240x240 px, Brain
FLAIR MR.
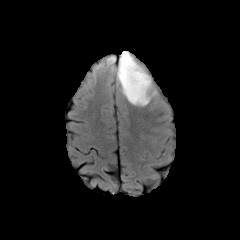
T1-weighted MR.
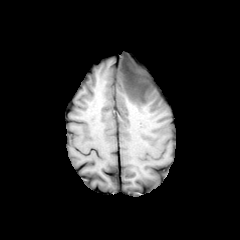
Post-contrast T1-weighted magnetic resonance.
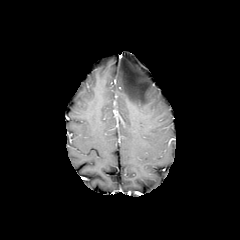
T2-weighted MR image.
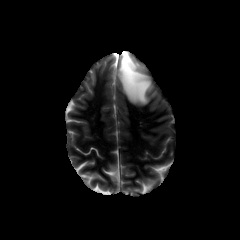
peritumoral edema: bounding box 117 51 156 106